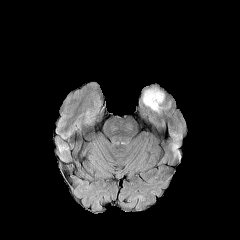
FLAIR MRI.
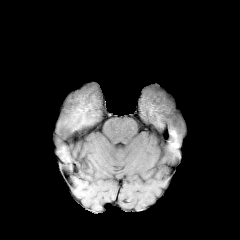
T1-weighted MR image.
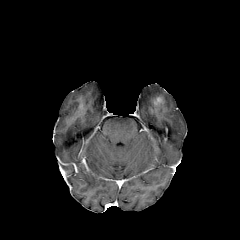
Same slice, post-contrast T1-weighted magnetic resonance.
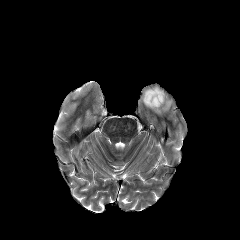
T2-weighted magnetic resonance.
Axial view | 240x240 px
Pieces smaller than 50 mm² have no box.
The largest peritumoral edema region is located at (142,88,164,112). The enhancing tumor lies within (153,96,163,106).